FLAIR MR image.
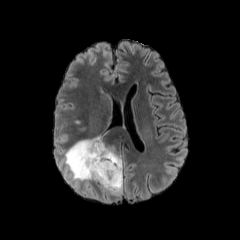
T1-weighted magnetic resonance.
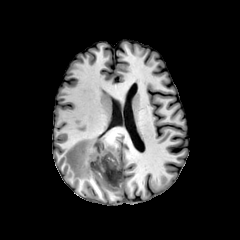
Post-contrast T1-weighted MRI.
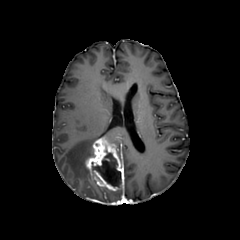
T2-weighted MR image.
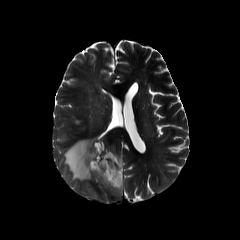
Brain; 240x240 px
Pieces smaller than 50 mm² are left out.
• necrotic tumor core: x1=92 y1=153 x2=121 y2=186
• peritumoral edema: x1=65 y1=136 x2=101 y2=182, x1=99 y1=187 x2=122 y2=196
• enhancing tumor: x1=85 y1=137 x2=123 y2=191